240x240. Image width 240 mm. Head.
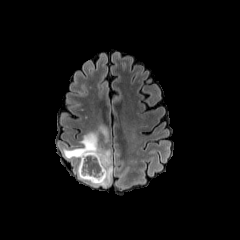
FLAIR MR image.
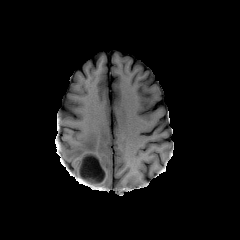
Same slice, T1-weighted MRI.
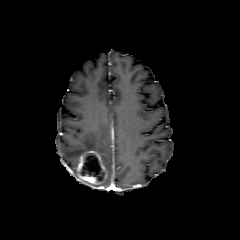
Post-contrast T1-weighted MRI.
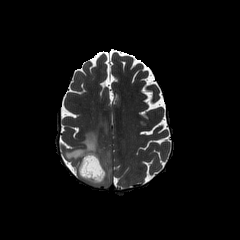
T2-weighted magnetic resonance of the same slice.
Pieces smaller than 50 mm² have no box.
necrotic tumor core — x1=80 y1=153 x2=104 y2=181
peritumoral edema — x1=64 y1=131 x2=112 y2=186, x1=98 y1=125 x2=109 y2=137
enhancing tumor — x1=77 y1=150 x2=106 y2=183